Slice 124/155. Head.
FLAIR magnetic resonance.
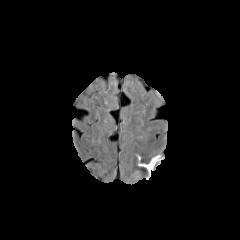
T1-weighted MRI.
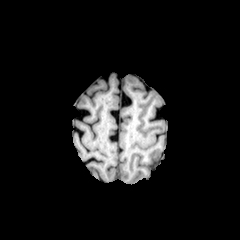
Post-contrast T1-weighted MR image.
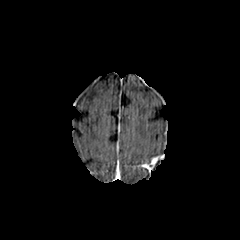
T2-weighted MRI.
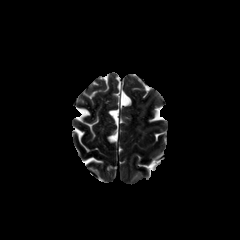
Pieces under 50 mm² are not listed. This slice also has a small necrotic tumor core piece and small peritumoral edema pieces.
enhancing tumor: rect(140, 156, 162, 172)